Image width 240 mm, 1.00 mm slice spacing | Head
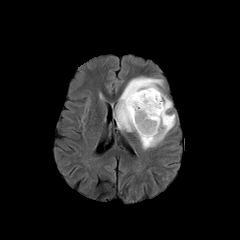
FLAIR MR.
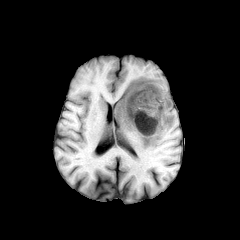
T1-weighted magnetic resonance.
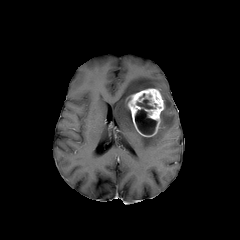
Post-contrast T1-weighted MRI of the same slice.
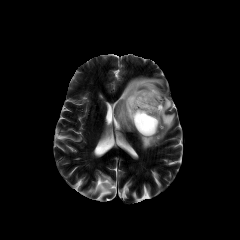
T2-weighted MR.
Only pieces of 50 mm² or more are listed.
{
  "enhancing_tumor": [
    "126:88:164:136"
  ],
  "peritumoral_edema": [
    "114:76:175:149"
  ],
  "necrotic_tumor_core": [
    "137:99:154:109",
    "135:109:156:134"
  ]
}